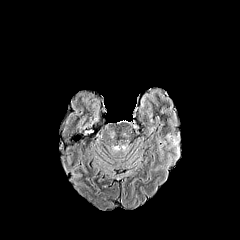
FLAIR MR.
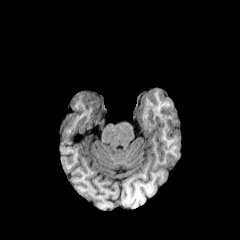
T1-weighted MR image.
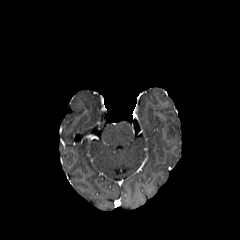
Post-contrast T1-weighted magnetic resonance.
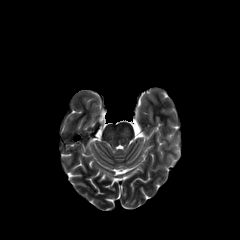
T2-weighted MRI of the same slice.
Brain, Axial view
peritumoral edema: 174,135,179,153